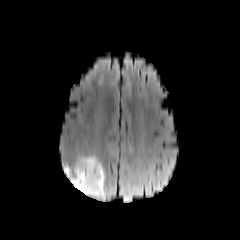
FLAIR MR.
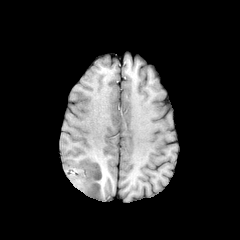
T1-weighted magnetic resonance.
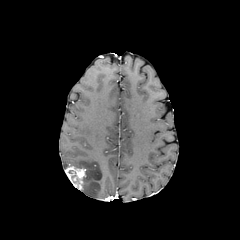
Post-contrast T1-weighted magnetic resonance.
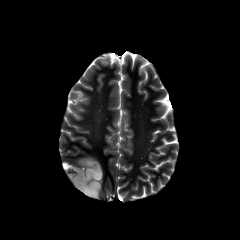
T2-weighted MR of the same slice.
Axial plane
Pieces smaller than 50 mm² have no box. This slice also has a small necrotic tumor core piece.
- enhancing tumor: (x1=65, y1=165, x2=85, y2=190)
- peritumoral edema: (x1=76, y1=156, x2=105, y2=198)